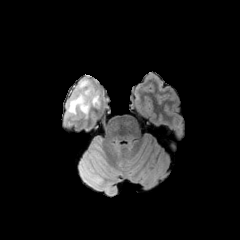
FLAIR MR.
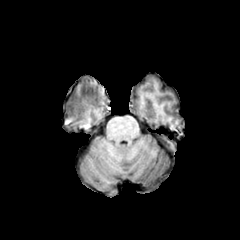
T1-weighted MRI.
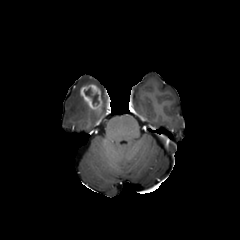
Post-contrast T1-weighted MR.
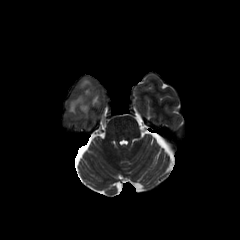
Same slice, T2-weighted MRI.
Head.
<segmentation>
  <peritumoral_edema>box=[67, 78, 93, 117]</peritumoral_edema>
  <enhancing_tumor>box=[80, 84, 102, 111]</enhancing_tumor>
  <necrotic_tumor_core>box=[84, 88, 99, 105]</necrotic_tumor_core>
</segmentation>